FLAIR MR.
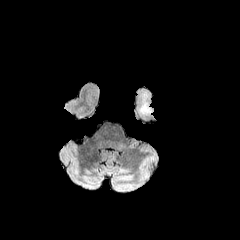
T1-weighted magnetic resonance.
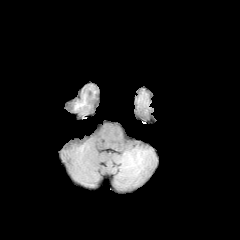
Post-contrast T1-weighted MRI.
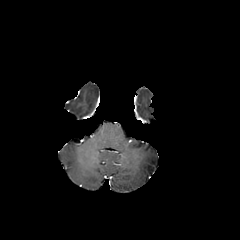
T2-weighted MR.
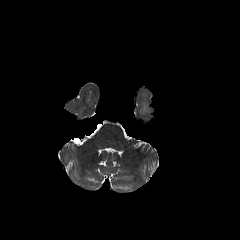
Head
The peritumoral edema lies within (140, 102, 151, 113).